Head
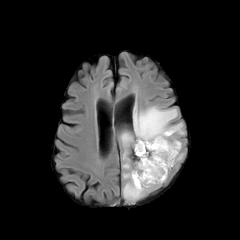
FLAIR MR image.
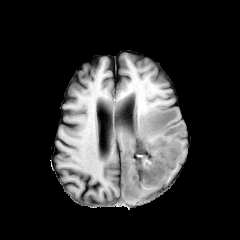
T1-weighted MRI.
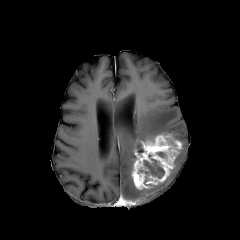
Post-contrast T1-weighted MR of the same slice.
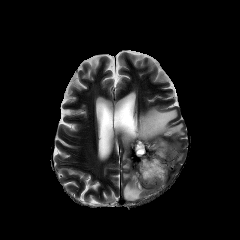
T2-weighted MR of the same slice.
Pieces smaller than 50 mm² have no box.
peritumoral edema: (left=120, top=106, right=184, bottom=201), (left=175, top=153, right=183, bottom=163) | necrotic tumor core: (left=144, top=159, right=164, bottom=178) | enhancing tumor: (left=131, top=133, right=181, bottom=189)